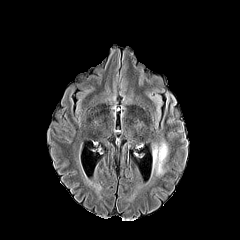
FLAIR MRI.
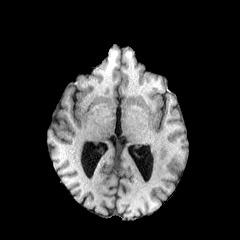
T1-weighted MRI.
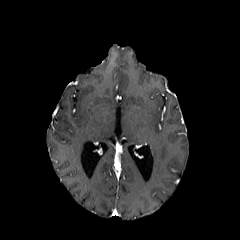
Post-contrast T1-weighted MR of the same slice.
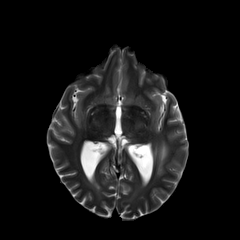
T2-weighted magnetic resonance.
Axial slice | Image size 240x240
The peritumoral edema is at x1=152 y1=141 x2=168 y2=175.